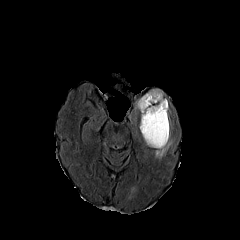
FLAIR MR.
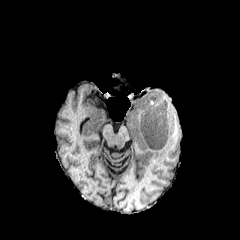
Same slice, T1-weighted MR.
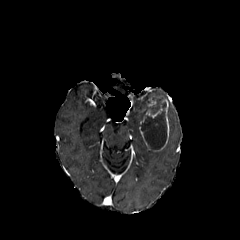
Post-contrast T1-weighted MR image of the same slice.
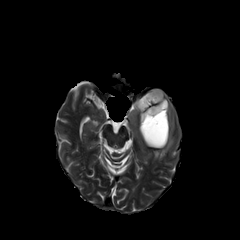
Same slice, T2-weighted MRI.
240x240 px
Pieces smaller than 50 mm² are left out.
enhancing_tumor:
  - 139:94:169:150
peritumoral_edema:
  - 135:89:165:120
  - 155:132:172:159
necrotic_tumor_core:
  - 141:96:166:148